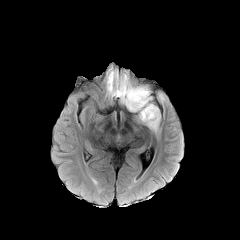
FLAIR magnetic resonance.
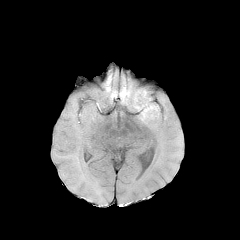
T1-weighted magnetic resonance of the same slice.
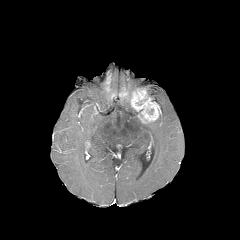
Post-contrast T1-weighted MR image of the same slice.
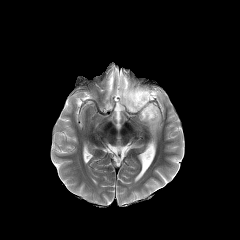
T2-weighted MRI.
240x240 px; Brain
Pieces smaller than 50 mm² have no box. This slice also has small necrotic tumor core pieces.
The enhancing tumor appears at (130, 88, 159, 123). The 2 largest peritumoral edema regions are bounded by (115, 82, 150, 112), (146, 110, 160, 131).